Slice 39/155 | Head
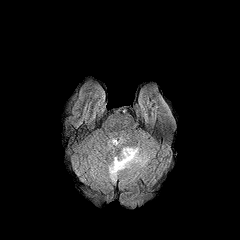
FLAIR MR image.
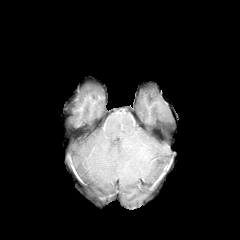
T1-weighted MR image.
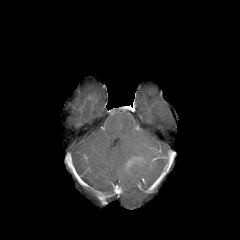
Post-contrast T1-weighted MRI.
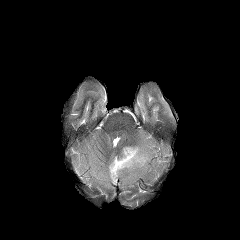
T2-weighted MRI.
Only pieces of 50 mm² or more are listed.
The largest enhancing tumor region is bounded by 127,157,137,166. The largest peritumoral edema region is bounded by 108,146,149,182.